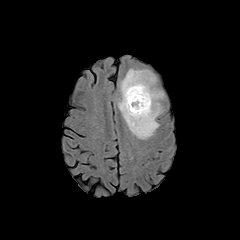
FLAIR MRI.
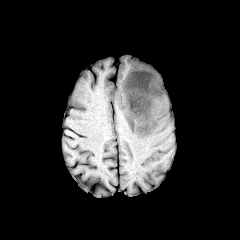
T1-weighted magnetic resonance of the same slice.
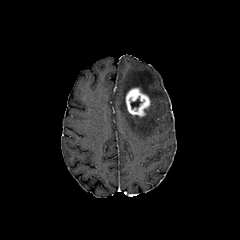
Post-contrast T1-weighted MR.
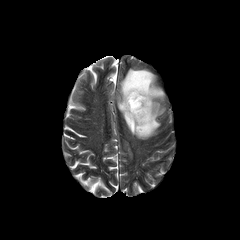
T2-weighted MR image.
240x240 px
* necrotic tumor core: 131,99,140,108
* enhancing tumor: 125,87,150,116
* peritumoral edema: 118,68,164,139